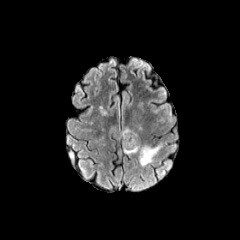
FLAIR MRI.
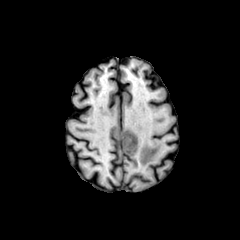
Same slice, T1-weighted MR.
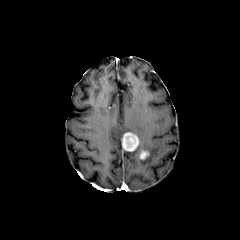
Post-contrast T1-weighted MRI.
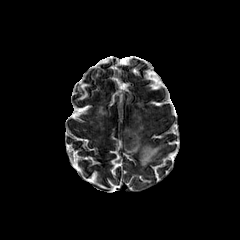
T2-weighted MRI.
240x240 | Axial view
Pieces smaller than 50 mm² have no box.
2 enhancing tumor regions are located at 140 150 148 159, 122 132 138 151. The largest peritumoral edema region appears at 124 140 162 166.